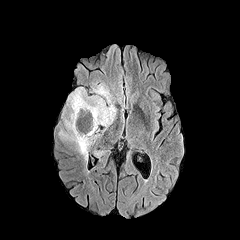
FLAIR magnetic resonance.
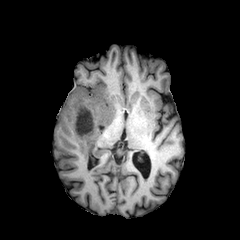
Same slice, T1-weighted MR image.
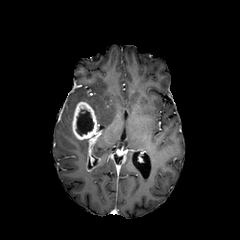
Post-contrast T1-weighted MR image of the same slice.
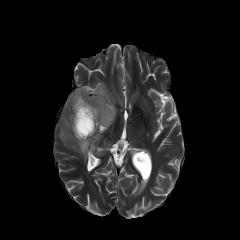
T2-weighted MRI of the same slice.
Axial slice | Head
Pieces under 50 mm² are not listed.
The enhancing tumor lies within <box>72,101,101,171</box>. The largest peritumoral edema region lies within <box>59,84,116,160</box>. The necrotic tumor core lies within <box>76,110,93,135</box>.